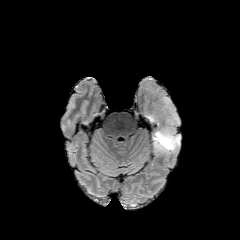
FLAIR MRI.
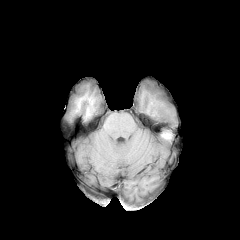
Same slice, T1-weighted MR.
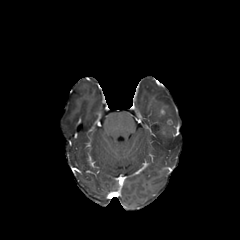
Post-contrast T1-weighted MR.
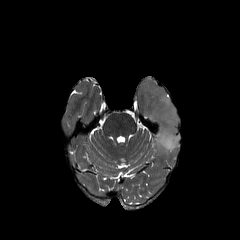
T2-weighted MR.
Head
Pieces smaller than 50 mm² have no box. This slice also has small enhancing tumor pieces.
peritumoral edema: region(145, 83, 180, 156)